Image size 240x240
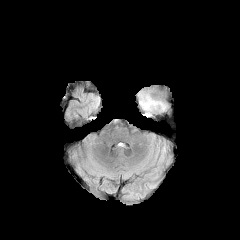
FLAIR MRI.
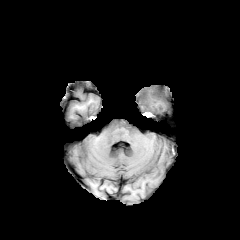
T1-weighted magnetic resonance.
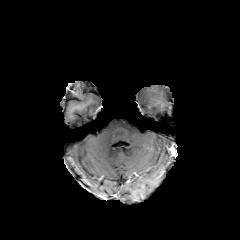
Post-contrast T1-weighted magnetic resonance.
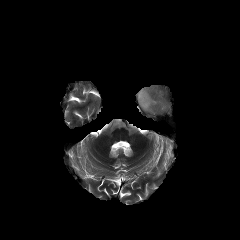
Same slice, T2-weighted MRI.
<segmentation>
  <peritumoral_edema>(x1=136, y1=85, x2=172, y2=118)</peritumoral_edema>
</segmentation>